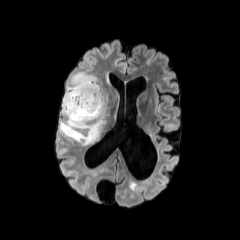
FLAIR magnetic resonance.
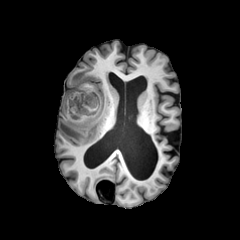
T1-weighted MR of the same slice.
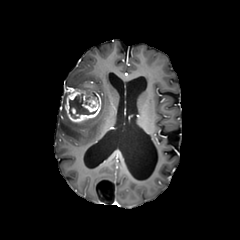
Post-contrast T1-weighted MR image of the same slice.
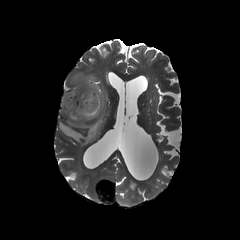
T2-weighted MRI.
Axial view; Head
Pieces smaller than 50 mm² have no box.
The enhancing tumor appears at left=65, top=87, right=101, bottom=122. The largest necrotic tumor core region lies within left=69, top=94, right=96, bottom=118. The peritumoral edema lies within left=59, top=72, right=107, bottom=144.